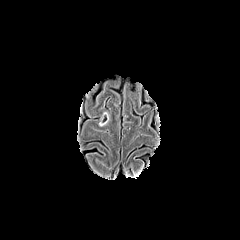
FLAIR MRI.
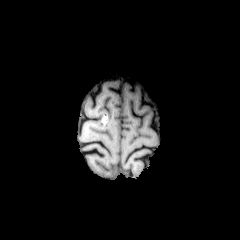
T1-weighted magnetic resonance of the same slice.
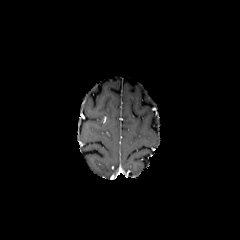
Post-contrast T1-weighted magnetic resonance.
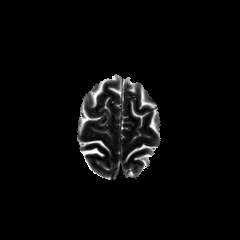
T2-weighted MR image.
Axial plane. 240x240 px.
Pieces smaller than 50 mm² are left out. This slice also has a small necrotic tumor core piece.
Annotated regions:
* peritumoral edema: {"x1": 99, "y1": 113, "x2": 107, "y2": 125}